Brain; Axial slice
FLAIR MR image.
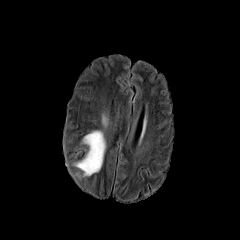
T1-weighted MR.
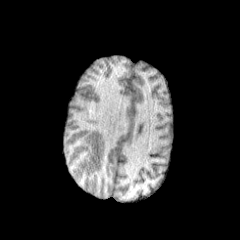
Post-contrast T1-weighted MRI.
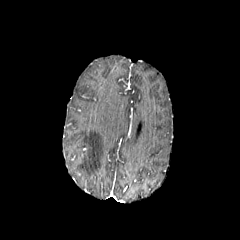
T2-weighted MRI.
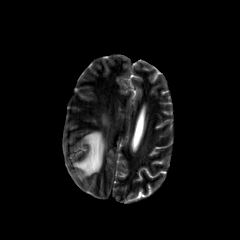
{
  "peritumoral_edema": [
    "x1=74 y1=129 x2=105 y2=176",
    "x1=102 y1=115 x2=108 y2=125"
  ]
}